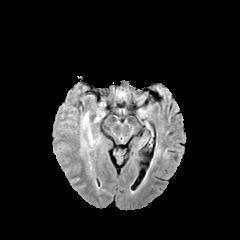
FLAIR MR.
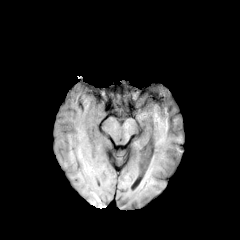
T1-weighted MR.
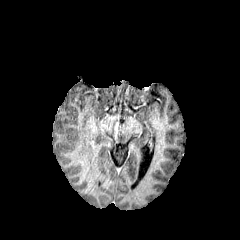
Same slice, post-contrast T1-weighted MR image.
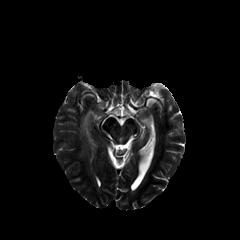
T2-weighted MR image.
240x240 px
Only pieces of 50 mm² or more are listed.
peritumoral edema at [x1=82, y1=112, x2=93, y2=144]